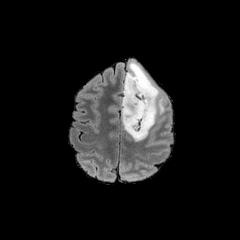
FLAIR MR image.
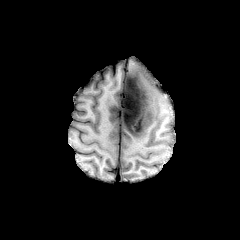
Same slice, T1-weighted magnetic resonance.
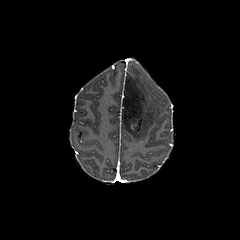
Same slice, post-contrast T1-weighted magnetic resonance.
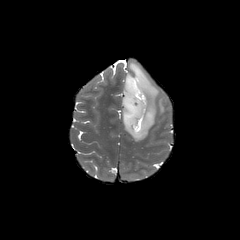
T2-weighted MR image of the same slice.
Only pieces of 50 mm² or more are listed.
peritumoral edema: (129,62,164,141)
necrotic tumor core: (121,71,146,135)